FLAIR MR image.
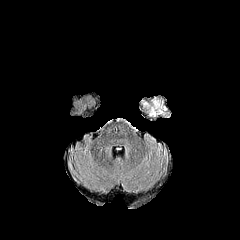
T1-weighted MR.
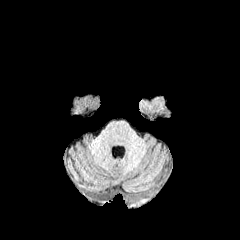
Post-contrast T1-weighted magnetic resonance.
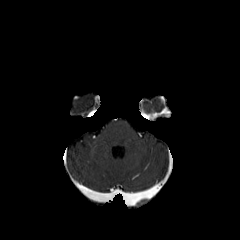
T2-weighted MRI.
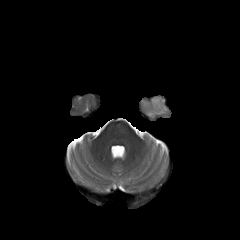
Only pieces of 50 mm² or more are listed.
enhancing_tumor:
  - l=148, t=107, r=169, b=119
peritumoral_edema:
  - l=149, t=98, r=164, b=111